FLAIR MR image.
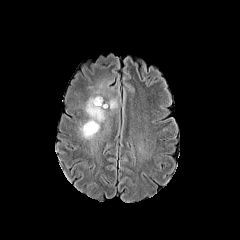
T1-weighted MRI.
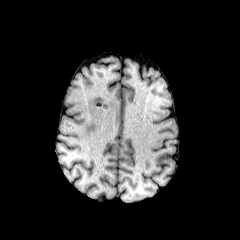
Post-contrast T1-weighted MR.
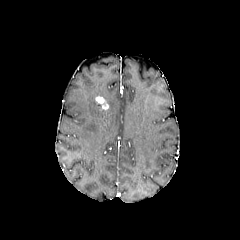
T2-weighted MRI.
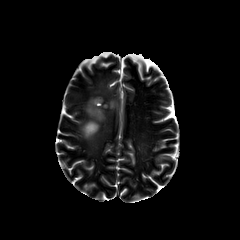
Axial view
enhancing tumor: bounding box {"x1": 95, "y1": 96, "x2": 108, "y2": 109}
peritumoral edema: bounding box {"x1": 104, "y1": 99, "x2": 117, "y2": 109}, {"x1": 80, "y1": 97, "x2": 105, "y2": 139}